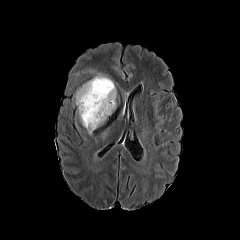
FLAIR magnetic resonance.
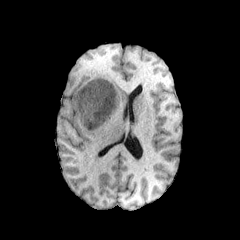
T1-weighted MRI of the same slice.
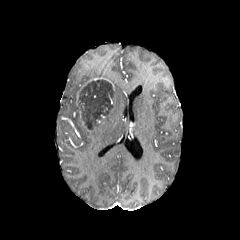
Post-contrast T1-weighted MR image of the same slice.
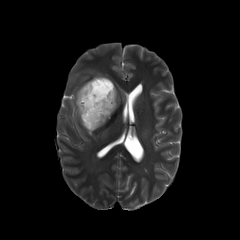
T2-weighted MR image.
Head
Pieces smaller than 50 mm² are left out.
{"enhancing_tumor": ["x1=84 y1=77 x2=115 y2=90"], "peritumoral_edema": ["x1=88 y1=100 x2=116 y2=134", "x1=73 y1=85 x2=88 y2=129"], "necrotic_tumor_core": ["x1=78 y1=80 x2=115 y2=129"]}